FLAIR MRI.
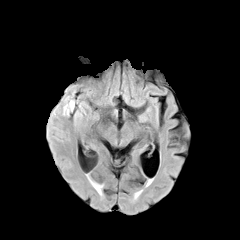
T1-weighted MR image.
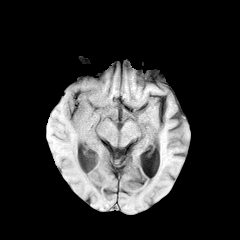
Post-contrast T1-weighted MRI.
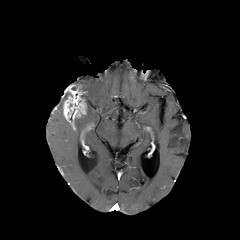
T2-weighted MR image.
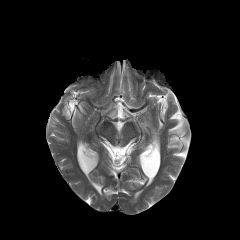
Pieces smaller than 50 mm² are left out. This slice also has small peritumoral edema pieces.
{
  "enhancing_tumor": [
    "(63, 86, 85, 119)"
  ]
}